Head.
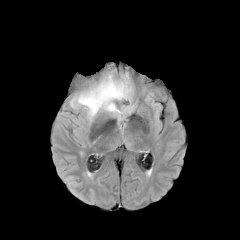
FLAIR MRI.
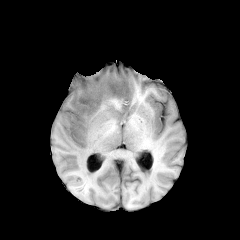
T1-weighted MR.
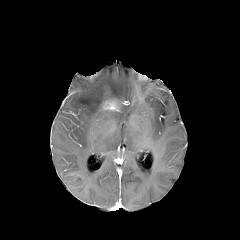
Post-contrast T1-weighted MR image.
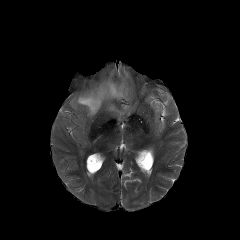
T2-weighted magnetic resonance.
<segmentation>
  <enhancing_tumor>(x1=104, y1=101, x2=117, y2=110)</enhancing_tumor>
  <peritumoral_edema>(x1=70, y1=65, x2=131, y2=120)</peritumoral_edema>
</segmentation>